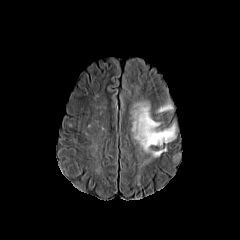
FLAIR MRI.
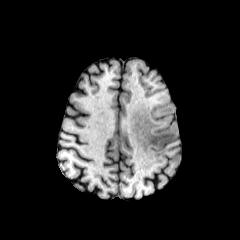
Same slice, T1-weighted magnetic resonance.
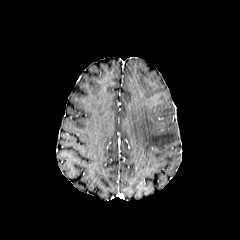
Post-contrast T1-weighted MR.
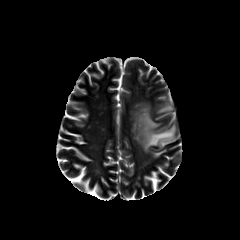
T2-weighted MRI of the same slice.
Brain
peritumoral edema: bounding box x1=157, y1=103, x2=173, y2=112; x1=172, y1=154, x2=181, y2=162; x1=132, y1=102, x2=176, y2=157